Slice index 65.
FLAIR MR image.
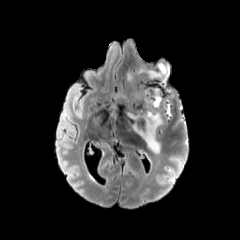
T1-weighted MRI.
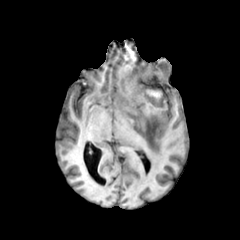
Post-contrast T1-weighted magnetic resonance.
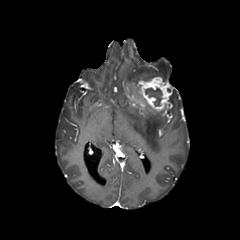
T2-weighted magnetic resonance.
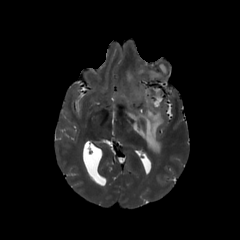
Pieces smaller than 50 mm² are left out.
• peritumoral edema: [127, 72, 171, 154], [138, 62, 169, 80]
• enhancing tumor: [129, 76, 172, 111]
• necrotic tumor core: [145, 88, 162, 106]